FLAIR MR image.
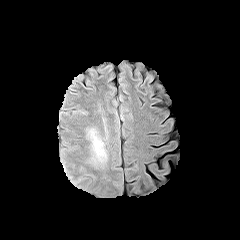
T1-weighted MR.
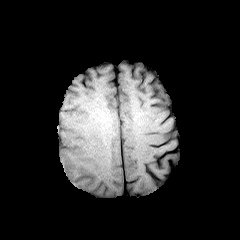
Post-contrast T1-weighted MRI.
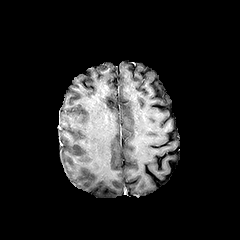
T2-weighted MRI.
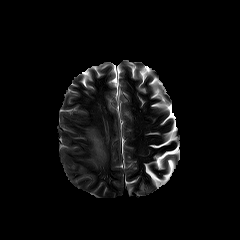
Head | 240x240 px
peritumoral edema = [x1=91, y1=132, x2=103, y2=155]